Head
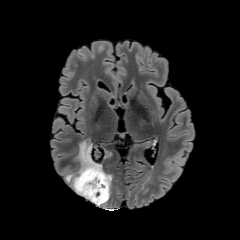
FLAIR magnetic resonance.
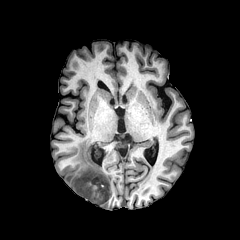
T1-weighted MR.
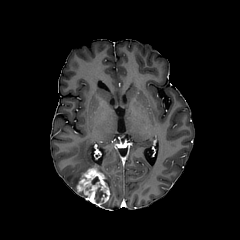
Post-contrast T1-weighted MRI.
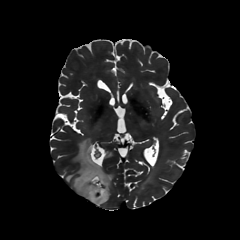
T2-weighted MR image.
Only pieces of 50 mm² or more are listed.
The enhancing tumor lies within 76,165,109,206. The largest necrotic tumor core region is located at 95,187,106,202. The 2 largest peritumoral edema regions are located at 103,152,111,160; 65,140,112,195.